240x240 | Head
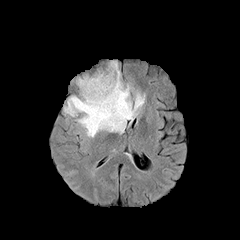
FLAIR MR.
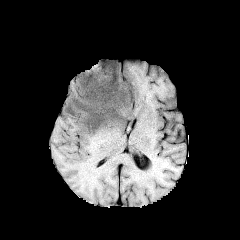
T1-weighted MR image.
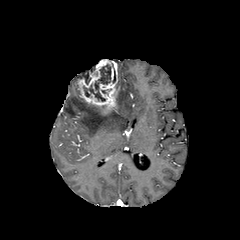
Post-contrast T1-weighted MR.
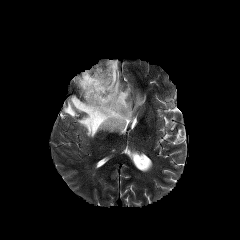
T2-weighted magnetic resonance of the same slice.
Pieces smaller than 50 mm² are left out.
The 2 largest necrotic tumor core regions are bounded by [83, 64, 111, 101], [82, 74, 90, 84]. The peritumoral edema lies within [64, 65, 144, 137]. The largest enhancing tumor region is at [77, 59, 119, 115].